Slice index 64.
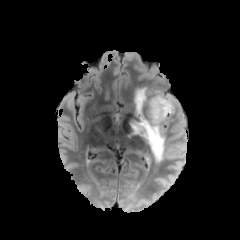
FLAIR magnetic resonance.
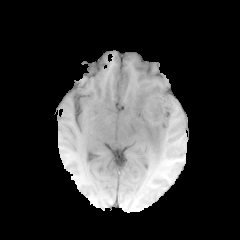
Same slice, T1-weighted MR.
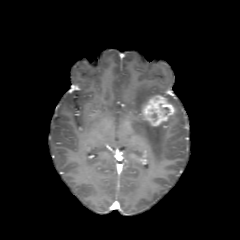
Post-contrast T1-weighted magnetic resonance of the same slice.
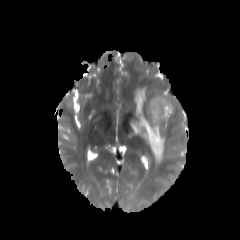
T2-weighted MRI.
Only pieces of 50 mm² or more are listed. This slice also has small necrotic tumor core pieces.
peritumoral_edema:
  - 135, 88, 146, 115
  - 132, 115, 165, 163
  - 164, 95, 174, 106
enhancing_tumor:
  - 140, 95, 174, 126